Slice index 98. Axial view.
FLAIR MRI.
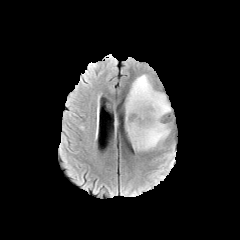
T1-weighted MR.
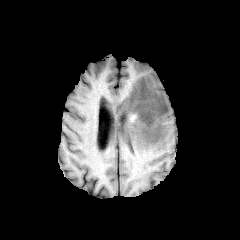
Post-contrast T1-weighted MR.
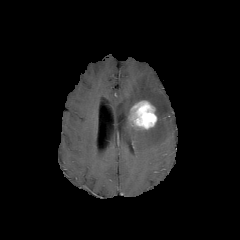
T2-weighted MRI.
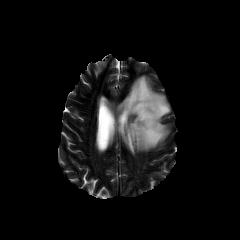
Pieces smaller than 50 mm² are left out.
The largest peritumoral edema region lies within 124:74:171:151. The enhancing tumor is bounded by 129:100:157:130.